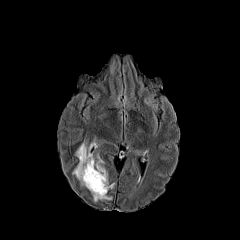
FLAIR MR image.
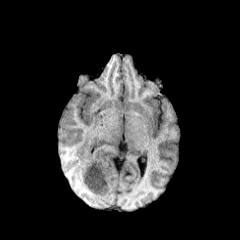
T1-weighted MR of the same slice.
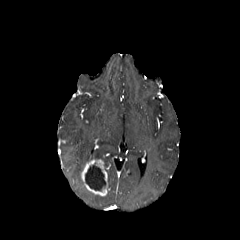
Same slice, post-contrast T1-weighted magnetic resonance.
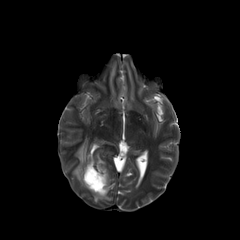
T2-weighted magnetic resonance of the same slice.
240x240.
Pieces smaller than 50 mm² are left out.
necrotic tumor core: bounding box 85,165,105,190
enhancing tumor: bounding box 81,159,109,196
peritumoral edema: bounding box 73,141,94,185; 92,193,111,201